FLAIR MRI.
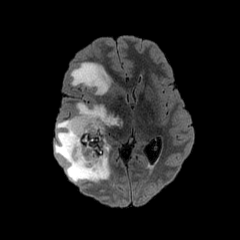
T1-weighted magnetic resonance.
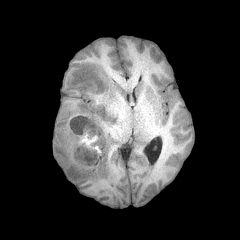
Post-contrast T1-weighted MRI.
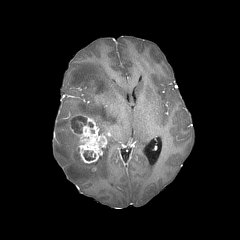
T2-weighted MR.
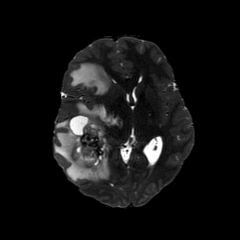
240x240; Head; Axial view
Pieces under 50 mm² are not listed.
<segmentation>
  <enhancing_tumor>[x1=69, y1=115, x2=107, y2=163]</enhancing_tumor>
  <peritumoral_edema>[x1=54, y1=102, x2=122, y2=182], [x1=70, y1=62, x2=111, y2=94]</peritumoral_edema>
  <necrotic_tumor_core>[x1=83, y1=151, x2=95, y2=160], [x1=71, y1=117, x2=86, y2=133]</necrotic_tumor_core>
</segmentation>